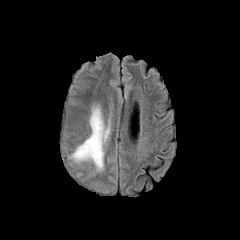
FLAIR MRI.
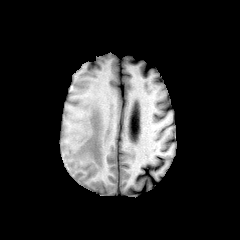
T1-weighted MRI of the same slice.
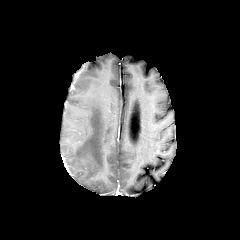
Post-contrast T1-weighted MR of the same slice.
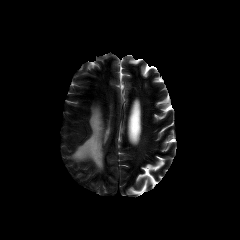
Same slice, T2-weighted magnetic resonance.
Head
Annotated regions:
- peritumoral edema: x1=73, y1=108, x2=109, y2=168